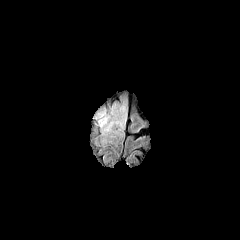
FLAIR magnetic resonance.
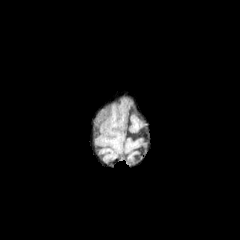
Same slice, T1-weighted MR.
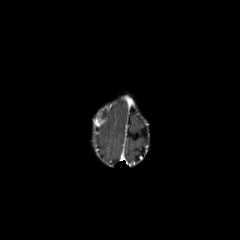
Post-contrast T1-weighted MR of the same slice.
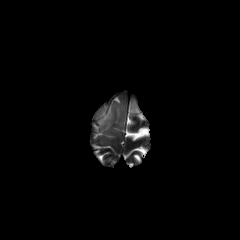
T2-weighted MR image.
Brain. Axial slice.
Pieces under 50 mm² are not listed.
- enhancing tumor: bbox=[95, 116, 106, 126]
- peritumoral edema: bbox=[98, 105, 126, 136]